Head. Slice 68/155.
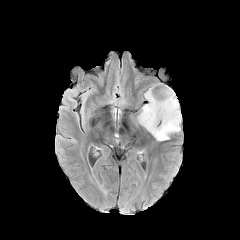
FLAIR MRI.
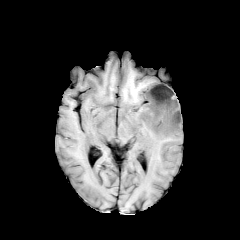
T1-weighted MRI.
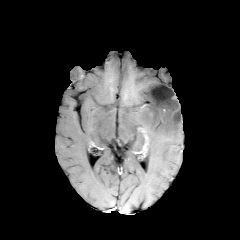
Post-contrast T1-weighted magnetic resonance of the same slice.
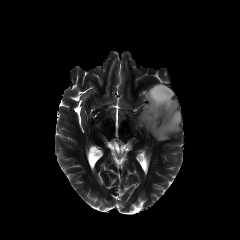
T2-weighted MR.
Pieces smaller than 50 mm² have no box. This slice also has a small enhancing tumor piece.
peritumoral_edema:
  - [x1=138, y1=84, x2=181, y2=140]
necrotic_tumor_core:
  - [x1=149, y1=85, x2=175, y2=107]